FLAIR MRI.
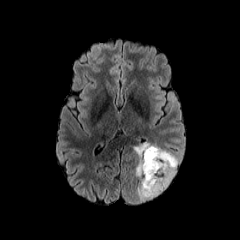
T1-weighted MR.
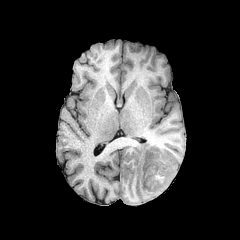
Post-contrast T1-weighted MR.
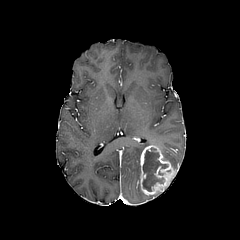
T2-weighted magnetic resonance.
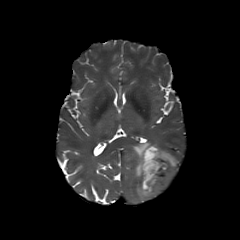
Brain
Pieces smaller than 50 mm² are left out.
The largest enhancing tumor region lies within box=[139, 145, 176, 195]. 2 peritumoral edema regions appear at box=[133, 142, 161, 199]; box=[160, 148, 178, 171]. The largest necrotic tumor core region appears at box=[142, 147, 168, 191].